Image size 240x240, Axial view
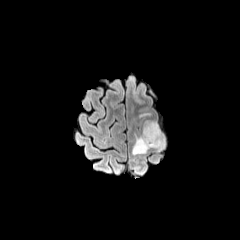
FLAIR MR.
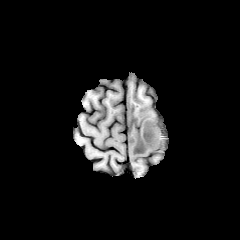
T1-weighted MRI of the same slice.
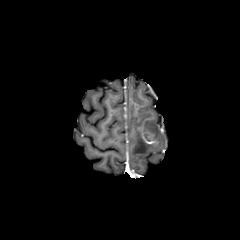
Post-contrast T1-weighted MR image.
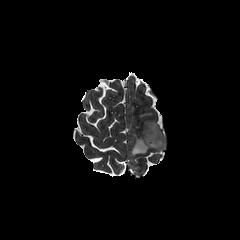
T2-weighted magnetic resonance.
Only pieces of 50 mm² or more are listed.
peritumoral edema — (132,121,165,154)
enhancing tumor — (143,133,160,146)